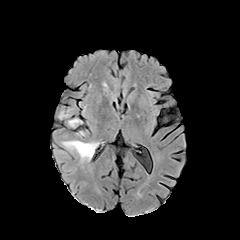
FLAIR MR.
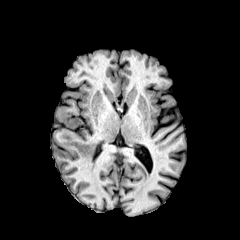
T1-weighted MRI.
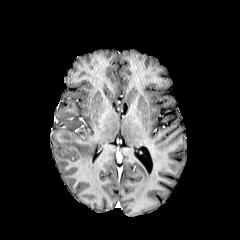
Post-contrast T1-weighted magnetic resonance of the same slice.
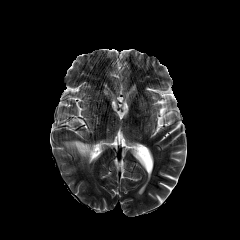
T2-weighted MRI.
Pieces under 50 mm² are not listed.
The 2 largest peritumoral edema regions are located at (x1=68, y1=119, x2=82, y2=126), (x1=63, y1=140, x2=98, y2=161).